Axial plane | Slice 85/155
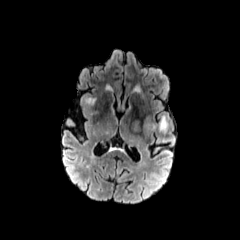
FLAIR magnetic resonance.
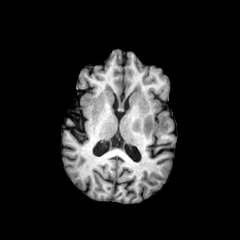
T1-weighted MR.
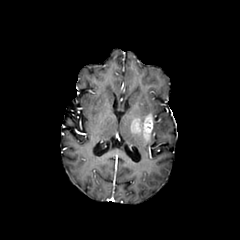
Post-contrast T1-weighted magnetic resonance.
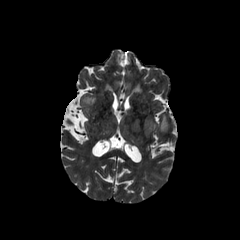
Same slice, T2-weighted MR.
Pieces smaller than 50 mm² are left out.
enhancing tumor: bounding box region(131, 114, 153, 140)
peritumoral edema: bounding box region(159, 115, 168, 132)